FLAIR MRI.
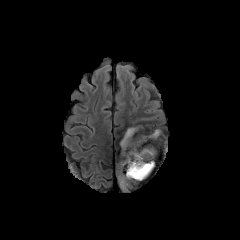
T1-weighted MR image.
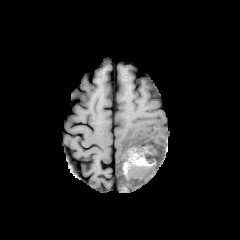
Post-contrast T1-weighted MRI.
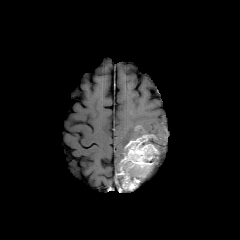
T2-weighted magnetic resonance.
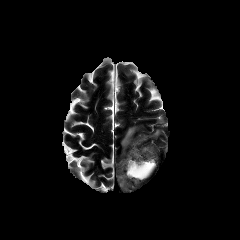
Axial slice | 240x240 px
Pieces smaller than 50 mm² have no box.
The 2 largest peritumoral edema regions are bounded by rect(120, 127, 137, 153); rect(153, 129, 161, 137). The largest enhancing tumor region is located at rect(117, 134, 159, 189). The largest necrotic tumor core region is located at rect(128, 166, 150, 180).